FLAIR magnetic resonance.
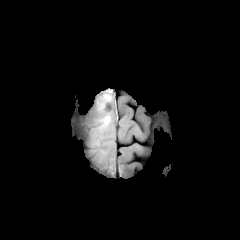
T1-weighted MRI.
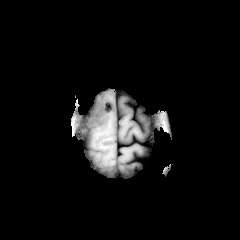
Post-contrast T1-weighted MRI.
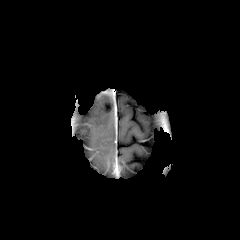
T2-weighted MRI.
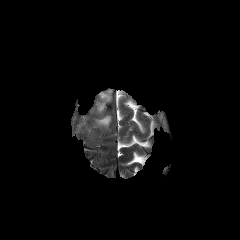
The peritumoral edema is bounded by box=[88, 90, 115, 126].